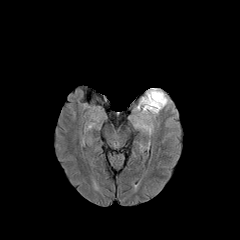
FLAIR MR.
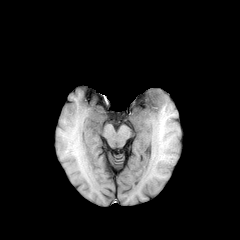
T1-weighted MRI.
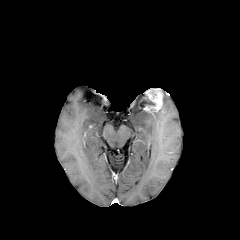
Post-contrast T1-weighted MR.
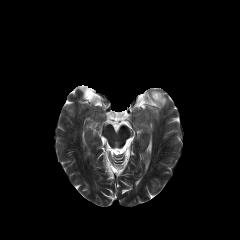
T2-weighted magnetic resonance.
Axial view.
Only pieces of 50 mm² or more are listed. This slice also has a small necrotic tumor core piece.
{
  "peritumoral_edema": [
    "region(136, 122, 152, 132)",
    "region(161, 94, 167, 108)",
    "region(143, 109, 158, 118)",
    "region(136, 97, 147, 109)"
  ],
  "enhancing_tumor": [
    "region(143, 89, 163, 112)"
  ]
}